FLAIR magnetic resonance.
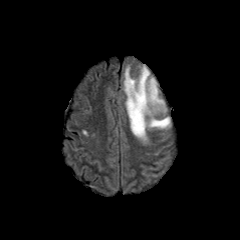
T1-weighted magnetic resonance.
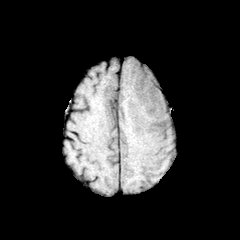
Post-contrast T1-weighted MR image.
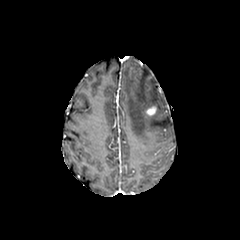
T2-weighted MR.
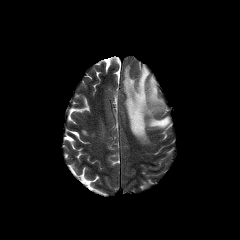
Image size 240x240, Brain, Axial view
{"peritumoral_edema": ["[123,66,170,142]"], "enhancing_tumor": ["[146,106,156,115]"]}